FLAIR MR image.
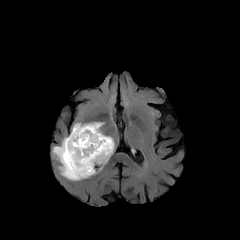
T1-weighted MR image.
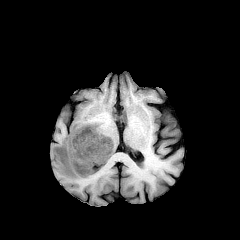
Post-contrast T1-weighted MR.
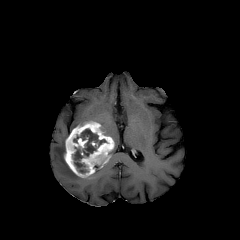
T2-weighted MRI.
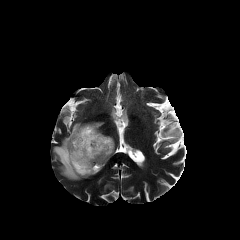
240x240 px; Head
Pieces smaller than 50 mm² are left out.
peritumoral edema = box(52, 136, 87, 180)
enhancing tumor = box(64, 121, 114, 177)
necrotic tumor core = box(73, 129, 105, 172)